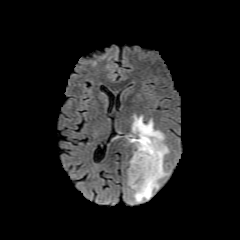
FLAIR magnetic resonance.
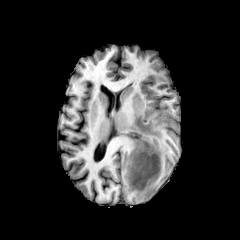
T1-weighted magnetic resonance.
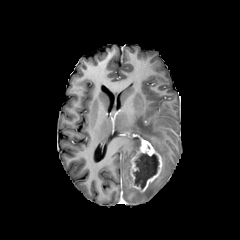
Same slice, post-contrast T1-weighted MR.
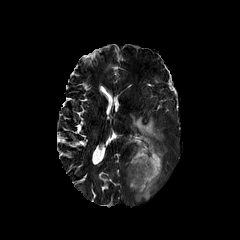
T2-weighted MR of the same slice.
Axial slice.
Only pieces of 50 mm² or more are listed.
necrotic tumor core: 133, 153, 159, 189 | enhancing tumor: 129, 138, 162, 192 | peritumoral edema: 130, 115, 168, 202; 127, 138, 140, 150